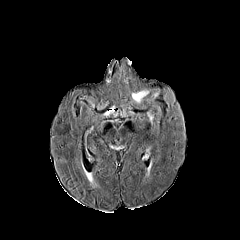
FLAIR magnetic resonance.
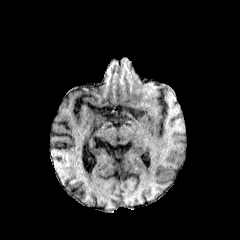
T1-weighted magnetic resonance of the same slice.
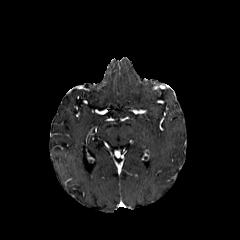
Post-contrast T1-weighted MRI of the same slice.
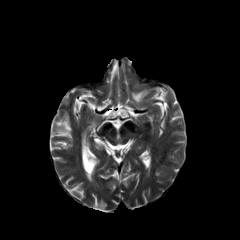
Same slice, T2-weighted MRI.
Brain
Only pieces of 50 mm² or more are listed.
* peritumoral edema: <box>132,91,148,102</box>